Axial view. Image covers 240 mm x 240 mm. Slice index 73. Image size 240x240.
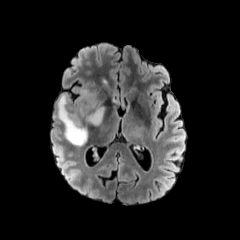
FLAIR MR.
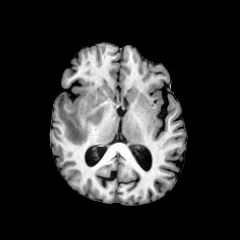
T1-weighted magnetic resonance of the same slice.
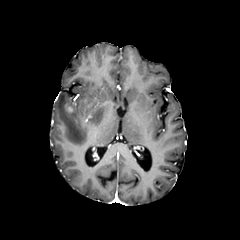
Same slice, post-contrast T1-weighted MR image.
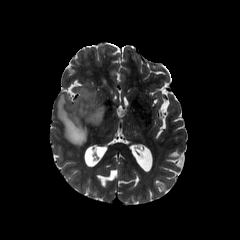
T2-weighted MR.
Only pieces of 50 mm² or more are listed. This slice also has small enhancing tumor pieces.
peritumoral edema: box(57, 94, 87, 146); box(73, 89, 104, 125)